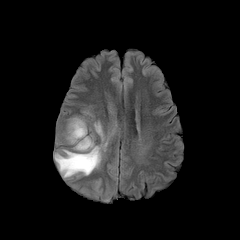
FLAIR MR.
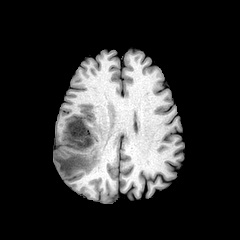
T1-weighted MR image.
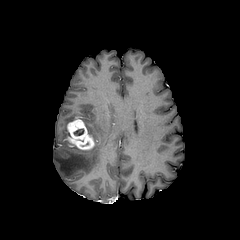
Post-contrast T1-weighted magnetic resonance.
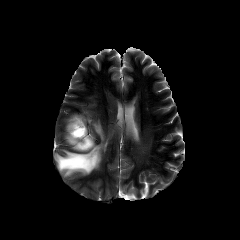
Same slice, T2-weighted MRI.
Axial view
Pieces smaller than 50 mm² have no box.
Annotated regions:
• peritumoral edema: rect(94, 122, 103, 140); rect(54, 143, 106, 177)
• enhancing tumor: rect(66, 117, 94, 150)
• necrotic tumor core: rect(74, 129, 83, 135)